Axial plane
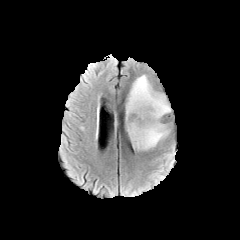
FLAIR MR image.
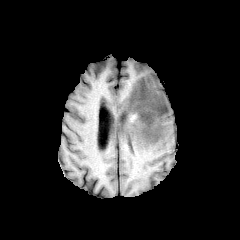
Same slice, T1-weighted MR image.
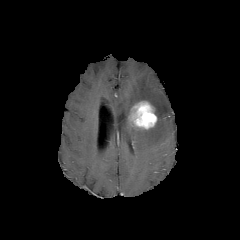
Post-contrast T1-weighted MRI.
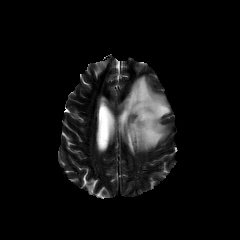
T2-weighted MR image.
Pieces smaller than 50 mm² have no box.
{"peritumoral_edema": ["box=[125, 75, 171, 150]"], "enhancing_tumor": ["box=[129, 101, 157, 129]"]}